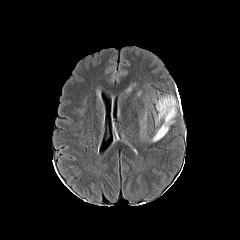
FLAIR magnetic resonance.
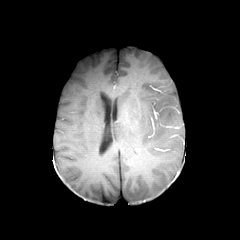
T1-weighted magnetic resonance.
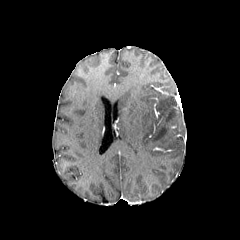
Post-contrast T1-weighted MR.
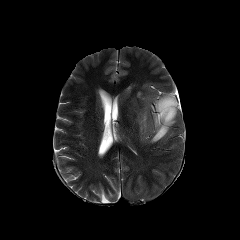
Same slice, T2-weighted MR image.
Segmented structures:
• peritumoral edema: <box>151,95,176,141</box>, <box>141,115,146,132</box>